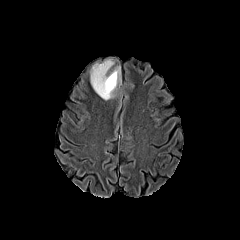
FLAIR MR.
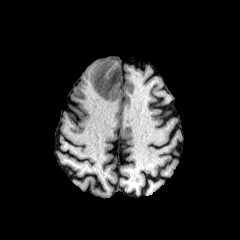
T1-weighted MRI of the same slice.
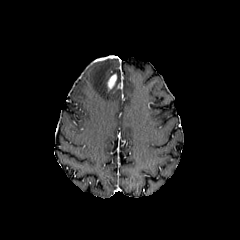
Post-contrast T1-weighted magnetic resonance.
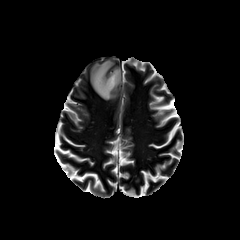
T2-weighted MR image.
240x240 px
peritumoral edema: [90, 59, 120, 100] | enhancing tumor: [107, 74, 116, 90]